Slice index 81. Brain. Image width 240 mm, 1.00 mm slice spacing. Axial plane.
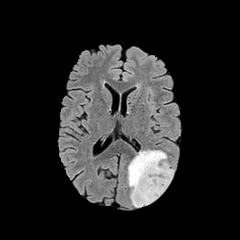
FLAIR MR.
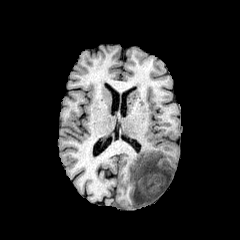
T1-weighted MR.
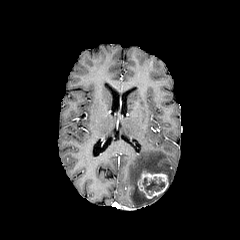
Post-contrast T1-weighted MR of the same slice.
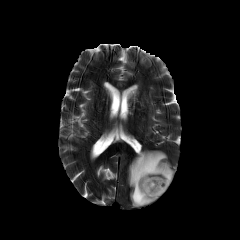
T2-weighted MR image.
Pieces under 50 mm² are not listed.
necrotic tumor core: bounding box 142 177 165 195
peritumoral edema: bounding box 128 150 173 207
enhancing tumor: bounding box 137 171 168 198